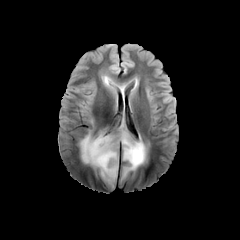
FLAIR MR image.
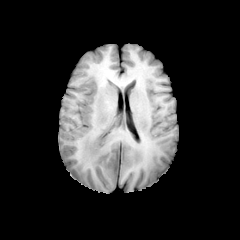
T1-weighted MRI of the same slice.
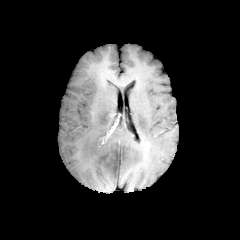
Post-contrast T1-weighted magnetic resonance of the same slice.
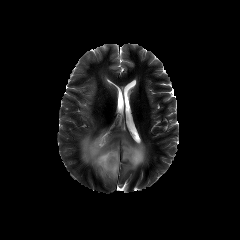
T2-weighted MR.
Brain | 240x240 px | Axial view
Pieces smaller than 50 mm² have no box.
The 2 largest peritumoral edema regions are bounded by bbox=[80, 132, 118, 180]; bbox=[121, 131, 146, 175]. The necrotic tumor core is at bbox=[111, 156, 117, 168].